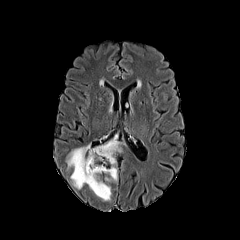
FLAIR MR image.
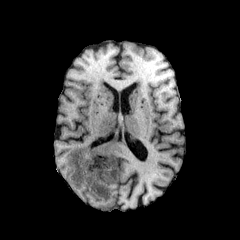
T1-weighted MRI.
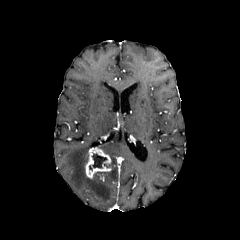
Post-contrast T1-weighted magnetic resonance of the same slice.
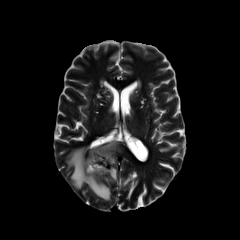
T2-weighted MR.
Axial view
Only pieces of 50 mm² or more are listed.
Segmented structures:
* peritumoral edema: bbox=[66, 144, 111, 200]; bbox=[98, 133, 122, 181]
* necrotic tumor core: bbox=[92, 153, 107, 168]
* enhancing tumor: bbox=[85, 147, 111, 178]